Axial plane; Head
FLAIR magnetic resonance.
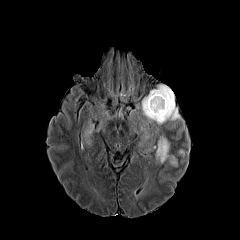
T1-weighted MRI.
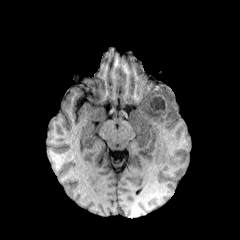
Post-contrast T1-weighted MRI.
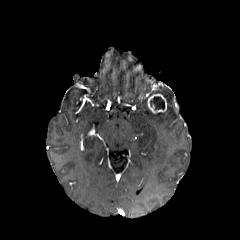
T2-weighted MR.
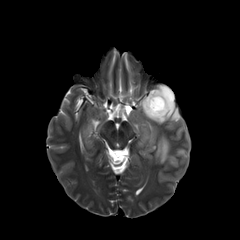
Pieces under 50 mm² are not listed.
{
  "necrotic_tumor_core": [
    {"x1": 150, "y1": 96, "x2": 164, "y2": 110}
  ],
  "peritumoral_edema": [
    {"x1": 142, "y1": 86, "x2": 179, "y2": 124},
    {"x1": 155, "y1": 136, "x2": 177, "y2": 165}
  ],
  "enhancing_tumor": [
    {"x1": 147, "y1": 93, "x2": 166, "y2": 113}
  ]
}